Brain.
FLAIR MRI.
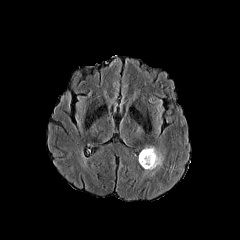
T1-weighted MR.
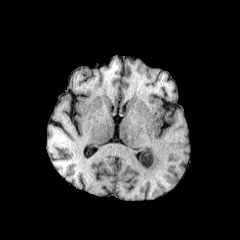
Post-contrast T1-weighted magnetic resonance.
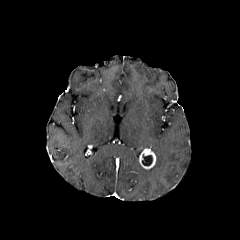
T2-weighted MR image.
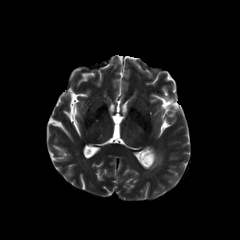
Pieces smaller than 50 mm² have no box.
The necrotic tumor core is located at x1=142 y1=154 x2=152 y2=166. The largest peritumoral edema region appears at x1=144 y1=146 x2=163 y2=172. The enhancing tumor is at x1=139 y1=148 x2=156 y2=169.